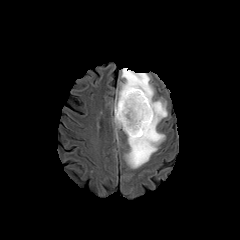
FLAIR MR image.
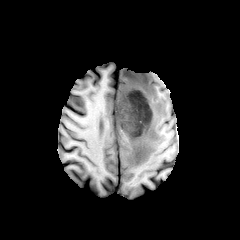
T1-weighted MR.
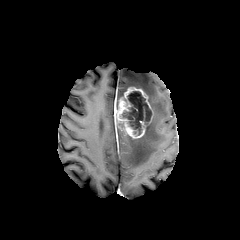
Post-contrast T1-weighted magnetic resonance.
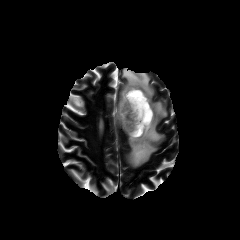
Same slice, T2-weighted magnetic resonance.
240x240; Head; Axial plane
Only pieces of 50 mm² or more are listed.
The largest necrotic tumor core region is bounded by [x1=122, y1=91, x2=152, y2=135]. The largest enhancing tumor region appears at [x1=117, y1=87, x2=153, y2=138]. The largest peritumoral edema region is at [x1=118, y1=68, x2=167, y2=168].